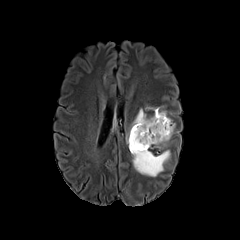
FLAIR MR image.
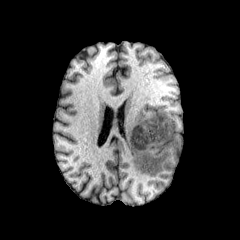
T1-weighted MRI.
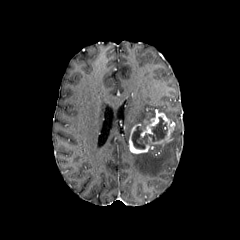
Post-contrast T1-weighted magnetic resonance of the same slice.
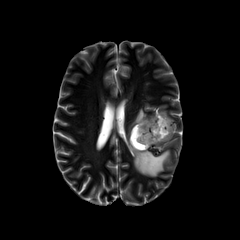
T2-weighted magnetic resonance.
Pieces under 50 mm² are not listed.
enhancing tumor at box(129, 109, 174, 153)
necrotic tumor core at box(132, 117, 167, 148)
peritumoral edema at box(127, 108, 154, 146); box(131, 150, 170, 176)